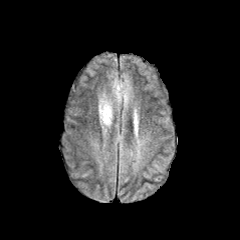
FLAIR MRI.
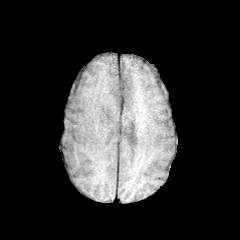
T1-weighted MRI.
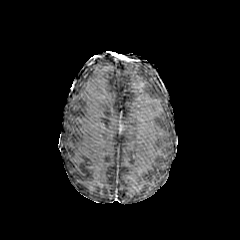
Post-contrast T1-weighted magnetic resonance.
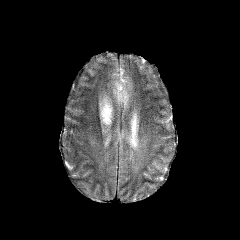
T2-weighted magnetic resonance.
Axial plane. 240x240 px.
peritumoral edema: 99 94 112 126, 113 80 127 102